Head. Image size 240x240.
FLAIR MRI.
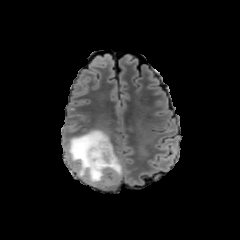
T1-weighted magnetic resonance.
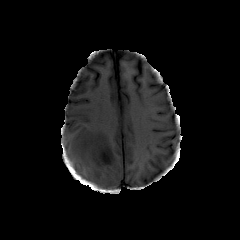
Post-contrast T1-weighted MR.
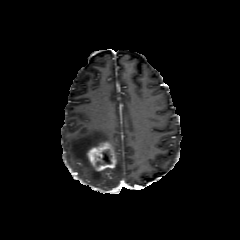
T2-weighted magnetic resonance.
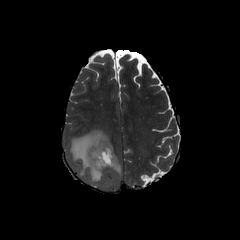
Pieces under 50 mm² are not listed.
peritumoral_edema:
  - box(67, 129, 122, 186)
enhancing_tumor:
  - box(87, 141, 116, 171)
necrotic_tumor_core:
  - box(96, 150, 111, 165)